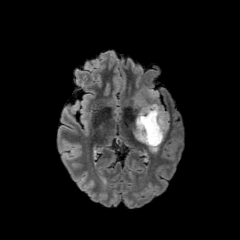
FLAIR MR.
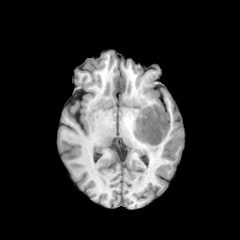
T1-weighted MR of the same slice.
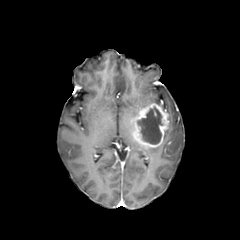
Post-contrast T1-weighted magnetic resonance.
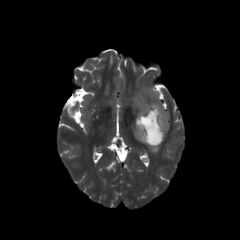
T2-weighted MR image.
Head. 240x240.
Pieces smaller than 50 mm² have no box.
enhancing tumor = region(133, 103, 169, 147)
peritumoral edema = region(148, 146, 159, 152); region(147, 89, 158, 98); region(129, 92, 161, 107)
necrotic tumor core = region(137, 106, 162, 144)